FLAIR MR image.
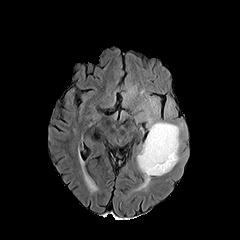
T1-weighted MRI.
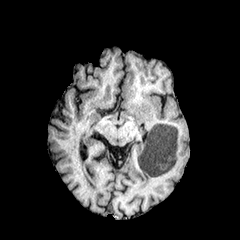
Post-contrast T1-weighted MR.
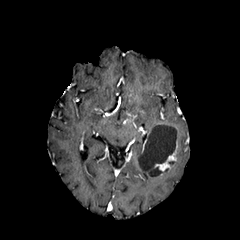
T2-weighted MRI.
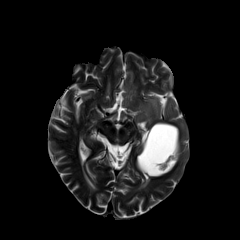
240x240, Axial plane
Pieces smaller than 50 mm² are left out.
The largest necrotic tumor core region is at (139,124,176,175). The 2 largest peritumoral edema regions appear at (145,98,182,161), (137,145,151,188). The largest enhancing tumor region is at (154,127,178,172).